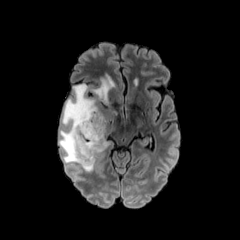
FLAIR MRI.
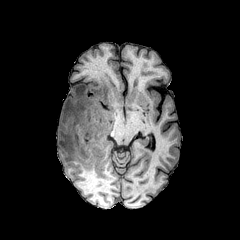
Same slice, T1-weighted MR image.
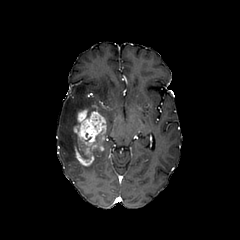
Post-contrast T1-weighted magnetic resonance.
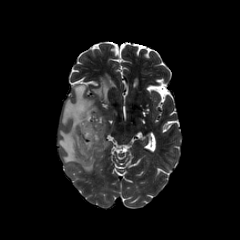
T2-weighted magnetic resonance of the same slice.
240x240
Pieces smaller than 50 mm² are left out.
Findings:
* peritumoral edema: box(91, 74, 112, 104); box(58, 83, 101, 171)
* necrotic tumor core: box(90, 145, 100, 155); box(75, 133, 91, 160); box(93, 123, 105, 145)
* enhancing tumor: box(73, 109, 106, 166)